240x240 px. Image covers 240 mm x 240 mm. Axial view.
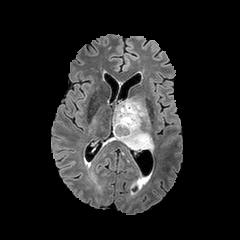
FLAIR MR image.
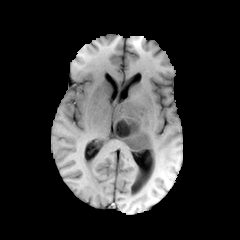
Same slice, T1-weighted MR.
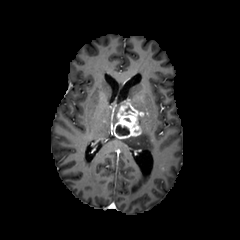
Same slice, post-contrast T1-weighted magnetic resonance.
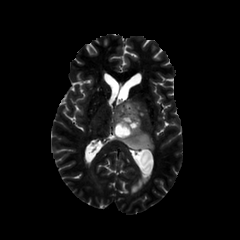
T2-weighted MR.
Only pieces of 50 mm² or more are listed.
Segmented structures:
- peritumoral edema: 127, 100, 146, 112; 119, 116, 153, 149; 113, 101, 125, 126
- necrotic tumor core: 115, 124, 129, 136
- enhancing tumor: 113, 101, 146, 138